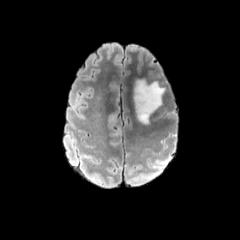
FLAIR MRI.
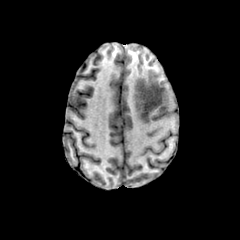
T1-weighted MR of the same slice.
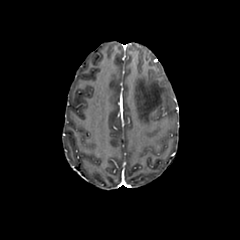
Post-contrast T1-weighted MRI of the same slice.
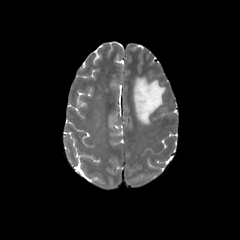
T2-weighted MR.
Axial slice. Head.
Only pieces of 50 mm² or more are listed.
<segmentation>
  <peritumoral_edema>(left=134, top=78, right=165, bottom=124)</peritumoral_edema>
</segmentation>